Axial view. Image size 240x240.
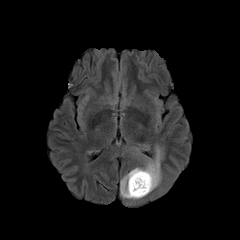
FLAIR MR image.
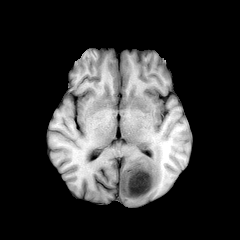
Same slice, T1-weighted MR image.
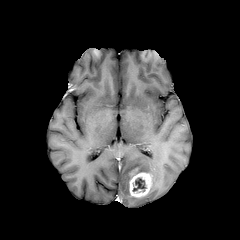
Post-contrast T1-weighted MRI of the same slice.
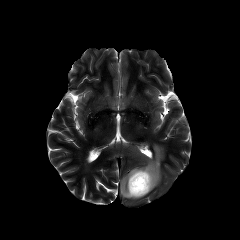
T2-weighted magnetic resonance.
necrotic_tumor_core:
  - 133,178,145,191
enhancing_tumor:
  - 129,169,152,197
peritumoral_edema:
  - 120,145,162,200